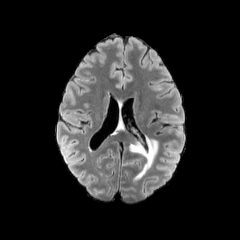
FLAIR MR.
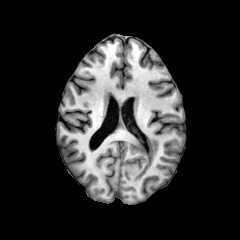
T1-weighted magnetic resonance of the same slice.
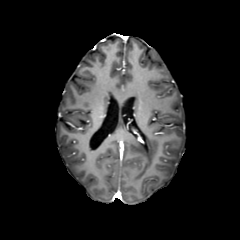
Post-contrast T1-weighted MR.
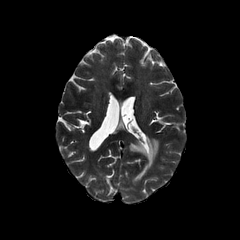
T2-weighted MR image.
Axial view
The peritumoral edema is at region(128, 136, 159, 180).